Brain
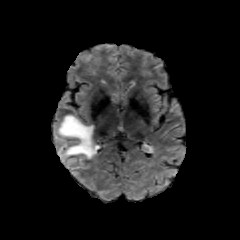
FLAIR MR.
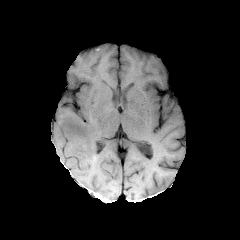
T1-weighted MR.
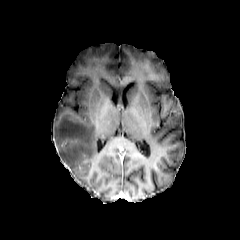
Post-contrast T1-weighted MR image.
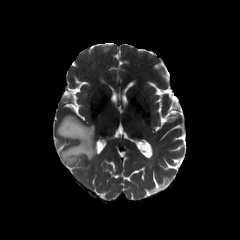
T2-weighted MR.
peritumoral edema — x1=55 y1=116 x2=97 y2=175